Head
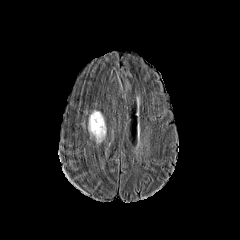
FLAIR magnetic resonance.
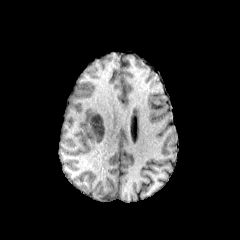
Same slice, T1-weighted MR.
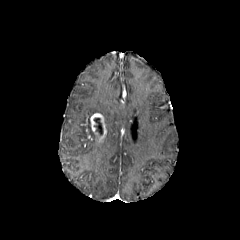
Post-contrast T1-weighted MR.
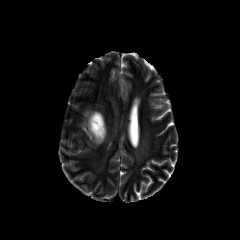
Same slice, T2-weighted magnetic resonance.
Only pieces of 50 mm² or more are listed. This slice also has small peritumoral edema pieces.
necrotic_tumor_core:
  - 94:118:102:134
enhancing_tumor:
  - 90:113:106:143